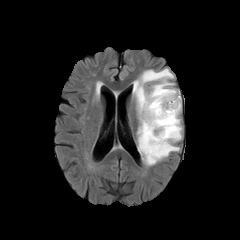
FLAIR MR image.
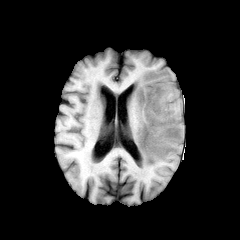
T1-weighted magnetic resonance.
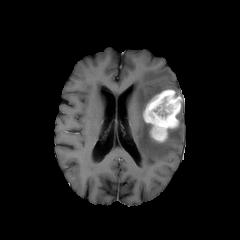
Post-contrast T1-weighted magnetic resonance of the same slice.
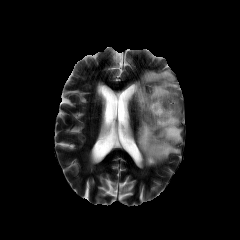
T2-weighted MR image of the same slice.
Axial slice
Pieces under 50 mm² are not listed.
enhancing tumor: 143,89,181,142
peritumoral edema: 133,68,182,165
necrotic tumor core: 155,100,172,118